FLAIR MR.
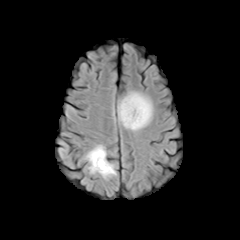
T1-weighted magnetic resonance.
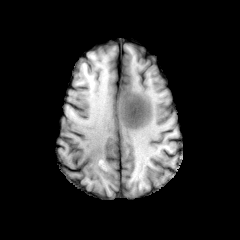
Post-contrast T1-weighted MR.
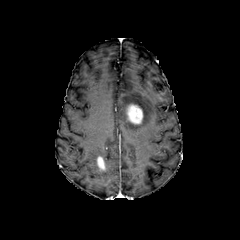
T2-weighted magnetic resonance.
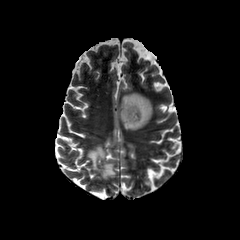
240x240 px. Axial plane.
• peritumoral edema: (118,92,152,130), (86,145,115,178)
• enhancing tumor: (125,103,143,124), (97,156,106,170)